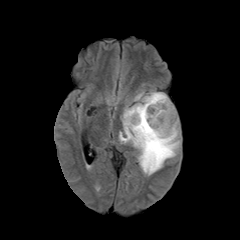
FLAIR MR image.
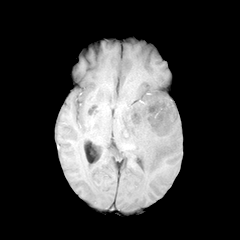
T1-weighted MR.
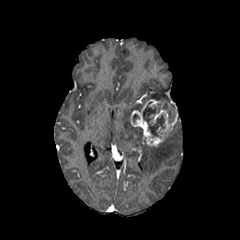
Same slice, post-contrast T1-weighted magnetic resonance.
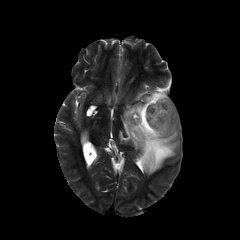
T2-weighted MRI.
Axial slice. Head.
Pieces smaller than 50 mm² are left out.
{"necrotic_tumor_core": ["bbox(143, 102, 168, 137)", "bbox(168, 104, 175, 122)"], "enhancing_tumor": ["bbox(130, 99, 178, 146)"], "peritumoral_edema": ["bbox(119, 93, 180, 175)", "bbox(134, 90, 145, 100)"]}